Slice index 96, Axial view
FLAIR MR image.
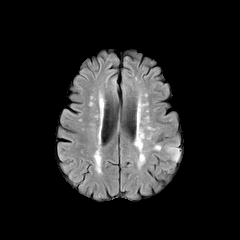
T1-weighted MRI.
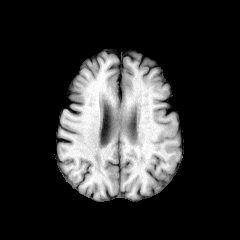
Post-contrast T1-weighted MRI.
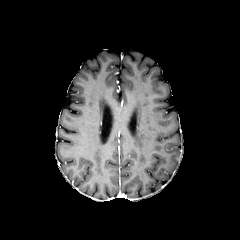
T2-weighted MR.
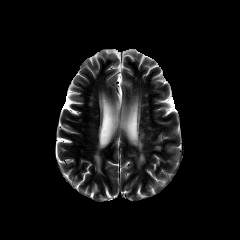
The peritumoral edema is bounded by box(166, 145, 180, 161).